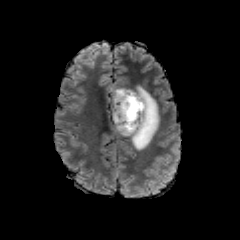
FLAIR MRI.
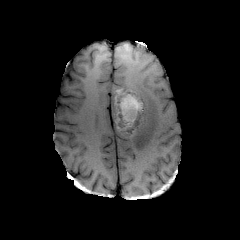
T1-weighted magnetic resonance of the same slice.
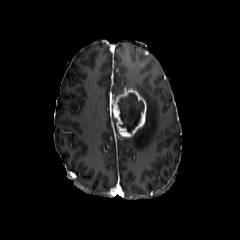
Post-contrast T1-weighted magnetic resonance.
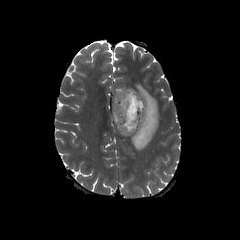
Same slice, T2-weighted MR image.
Axial view
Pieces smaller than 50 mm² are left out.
peritumoral edema: (130, 85, 159, 150), (111, 88, 124, 98)
enhancing tumor: (110, 88, 146, 137)
necrotic tumor core: (118, 93, 144, 132)